Axial view; 240x240
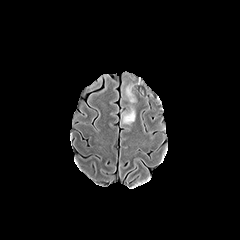
FLAIR MRI.
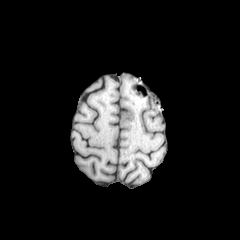
T1-weighted MR.
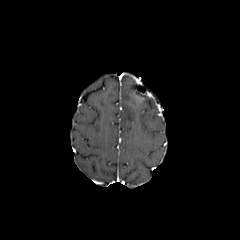
Post-contrast T1-weighted MR of the same slice.
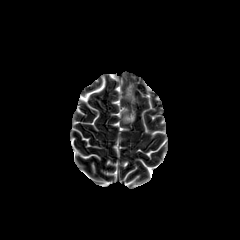
T2-weighted MRI.
{
  "peritumoral_edema": [
    "x1=122, y1=81, x2=137, y2=124"
  ]
}